Image size 240x240 | Slice 82/155
FLAIR MR.
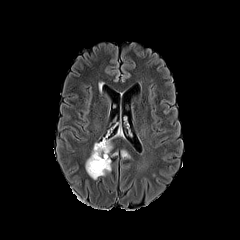
T1-weighted MR.
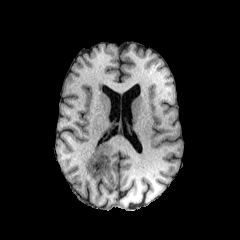
Post-contrast T1-weighted MR.
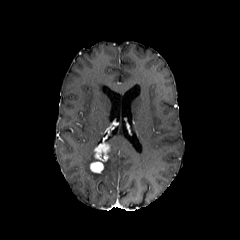
T2-weighted magnetic resonance.
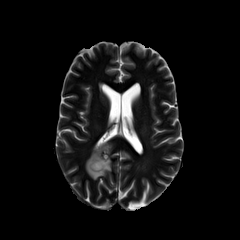
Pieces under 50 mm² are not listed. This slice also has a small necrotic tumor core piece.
{"peritumoral_edema": ["85:143:111:179", "121:150:130:158"], "enhancing_tumor": ["90:140:110:173"]}